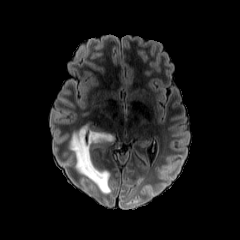
FLAIR MR image.
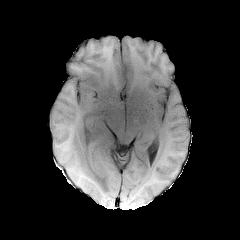
T1-weighted MR.
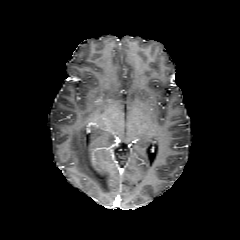
Post-contrast T1-weighted magnetic resonance of the same slice.
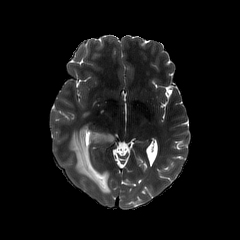
T2-weighted magnetic resonance of the same slice.
Brain
peritumoral edema at (left=70, top=125, right=114, bottom=193)